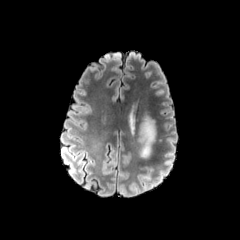
FLAIR MRI.
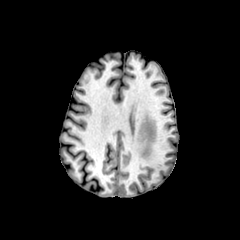
T1-weighted MRI.
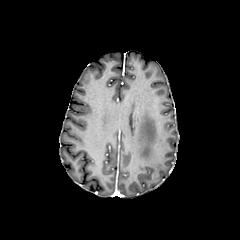
Post-contrast T1-weighted magnetic resonance.
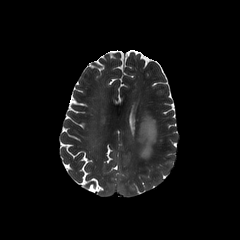
T2-weighted MRI.
peritumoral edema: 139, 117, 155, 158